Head. Slice 64 of 155.
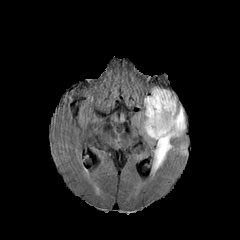
FLAIR MR image.
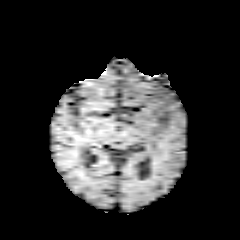
Same slice, T1-weighted MR.
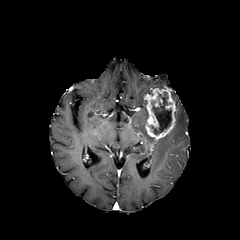
Post-contrast T1-weighted MR.
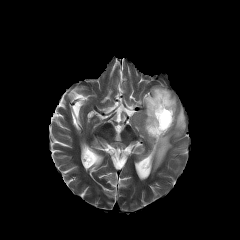
Same slice, T2-weighted MR image.
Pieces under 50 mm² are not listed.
Annotated regions:
* necrotic tumor core: (x1=151, y1=92, x2=171, y2=134)
* peritumoral edema: (x1=142, y1=109, x2=154, y2=140), (x1=152, y1=106, x2=185, y2=172), (x1=179, y1=145, x2=186, y2=154)
* enhancing tumor: (x1=144, y1=88, x2=176, y2=140)